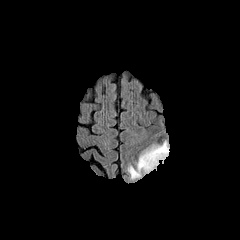
FLAIR magnetic resonance.
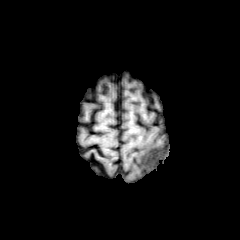
T1-weighted MR.
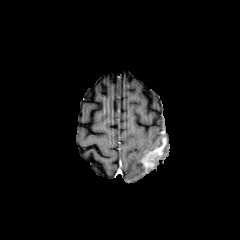
Post-contrast T1-weighted MRI.
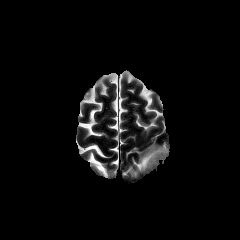
T2-weighted MR.
Head
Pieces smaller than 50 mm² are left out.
The enhancing tumor appears at box(141, 141, 167, 170). The largest peritumoral edema region lies within box(128, 145, 156, 178).